Image width 240 mm | Brain | 240x240 px
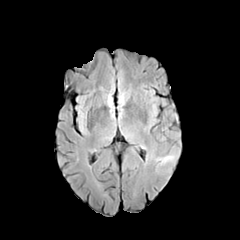
FLAIR MR image.
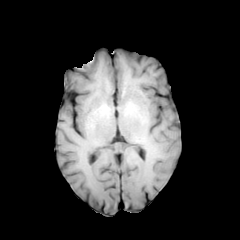
T1-weighted MRI.
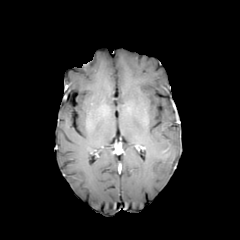
Same slice, post-contrast T1-weighted MR.
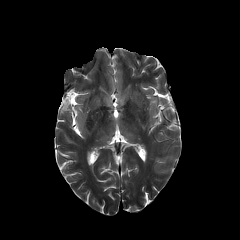
Same slice, T2-weighted MR image.
Segmented structures:
- peritumoral edema: [x1=156, y1=155, x2=174, y2=163]